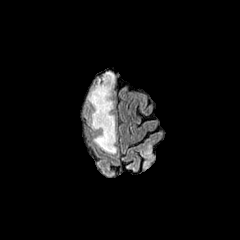
FLAIR MR image.
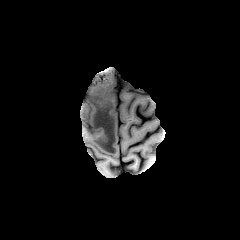
T1-weighted MR image.
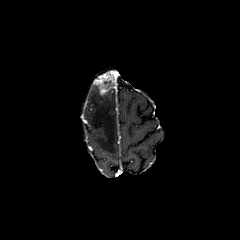
Same slice, post-contrast T1-weighted MR.
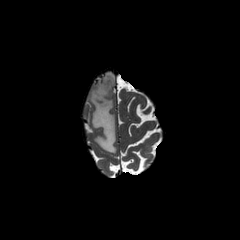
T2-weighted MR image.
Head
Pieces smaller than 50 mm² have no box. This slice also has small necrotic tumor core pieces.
enhancing tumor — <bbox>93, 70, 115, 95</bbox>
peritumoral edema — <bbox>88, 86, 116, 153</bbox>